FLAIR MR image.
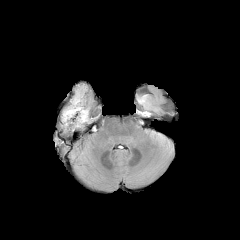
T1-weighted MRI.
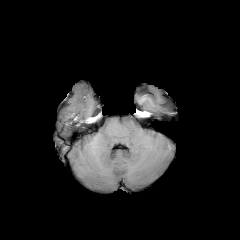
Post-contrast T1-weighted MR.
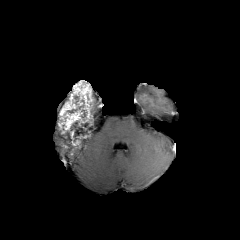
T2-weighted magnetic resonance.
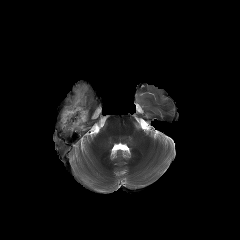
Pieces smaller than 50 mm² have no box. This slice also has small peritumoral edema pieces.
The largest enhancing tumor region is located at bbox(58, 82, 93, 132). The largest necrotic tumor core region appears at bbox(70, 121, 87, 130).